Slice 82 of 155. 240x240 px. Head.
FLAIR MR.
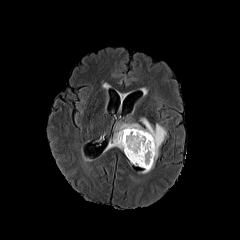
T1-weighted MR image.
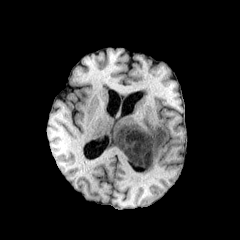
Post-contrast T1-weighted magnetic resonance.
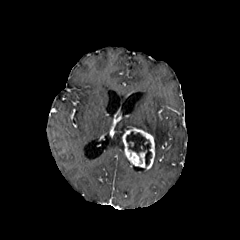
T2-weighted MR image.
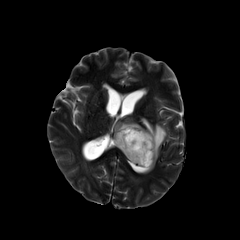
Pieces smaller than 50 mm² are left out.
<segmentation>
  <enhancing_tumor>121:127:155:169</enhancing_tumor>
  <peritumoral_edema>109:118:166:173</peritumoral_edema>
  <necrotic_tumor_core>126:131:151:166</necrotic_tumor_core>
</segmentation>